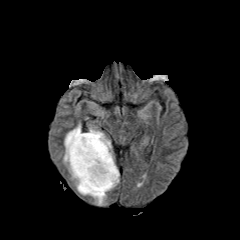
FLAIR MR image.
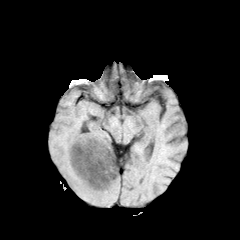
T1-weighted MR.
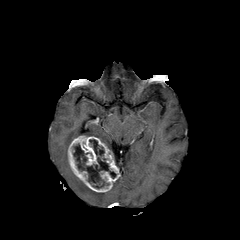
Post-contrast T1-weighted MRI of the same slice.
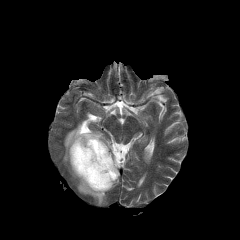
Same slice, T2-weighted MR image.
Brain.
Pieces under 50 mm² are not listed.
enhancing tumor: rect(67, 135, 120, 192) | peritumoral edema: rect(63, 123, 111, 205) | necrotic tumor core: rect(89, 139, 104, 156); rect(73, 144, 116, 188)